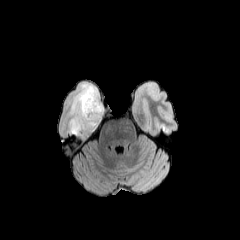
FLAIR magnetic resonance.
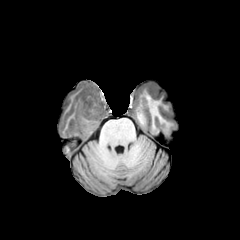
T1-weighted MRI of the same slice.
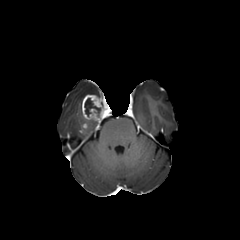
Post-contrast T1-weighted MR.
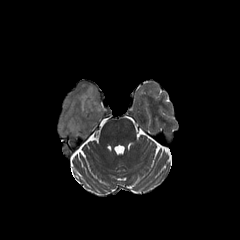
T2-weighted magnetic resonance.
Brain.
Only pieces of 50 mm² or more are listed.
necrotic tumor core: bounding box l=84, t=98, r=100, b=116
peritumoral edema: bounding box l=68, t=83, r=99, b=136
enhancing tumor: bounding box l=81, t=94, r=104, b=122